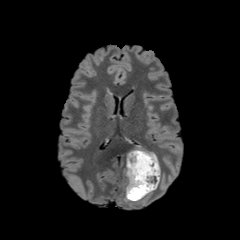
FLAIR magnetic resonance.
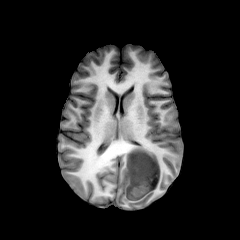
T1-weighted magnetic resonance.
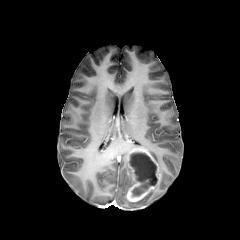
Post-contrast T1-weighted MR image.
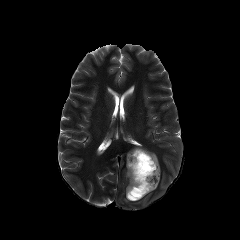
T2-weighted magnetic resonance.
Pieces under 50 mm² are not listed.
enhancing_tumor:
  - [126,148,160,201]
peritumoral_edema:
  - [126,171,131,195]
necrotic_tumor_core:
  - [129,152,157,196]